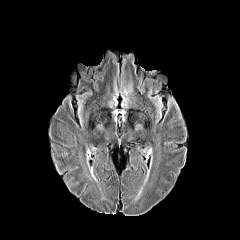
FLAIR MR.
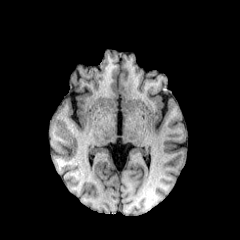
T1-weighted magnetic resonance.
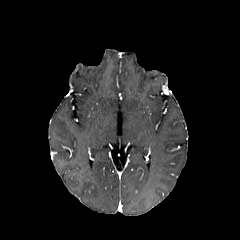
Post-contrast T1-weighted MRI.
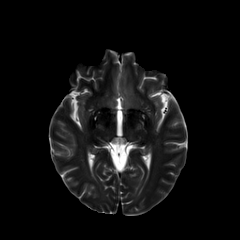
Same slice, T2-weighted MR image.
Brain
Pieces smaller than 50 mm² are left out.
peritumoral edema: 122, 84, 132, 105